Head
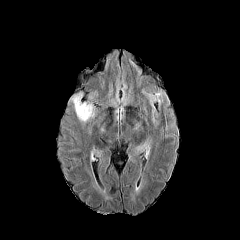
FLAIR MR image.
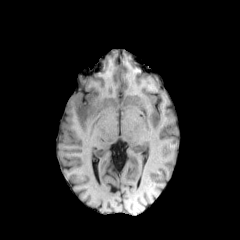
T1-weighted MRI of the same slice.
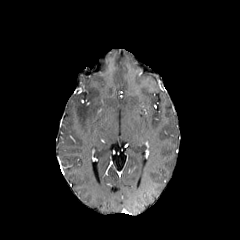
Same slice, post-contrast T1-weighted magnetic resonance.
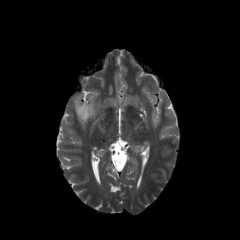
Same slice, T2-weighted MR.
The peritumoral edema appears at (70,87,102,131).